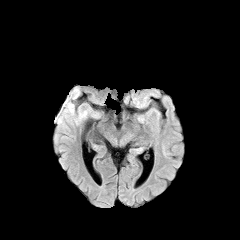
FLAIR MR.
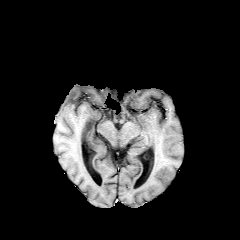
T1-weighted MR.
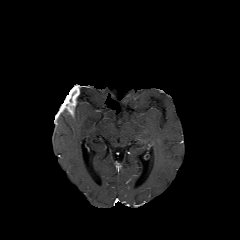
Same slice, post-contrast T1-weighted MRI.
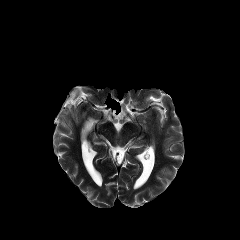
Same slice, T2-weighted MR.
Axial slice; Head
The peritumoral edema is at bbox(57, 105, 87, 127). The enhancing tumor lies within bbox(55, 86, 79, 121).